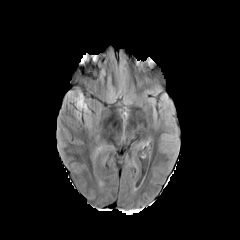
FLAIR MRI.
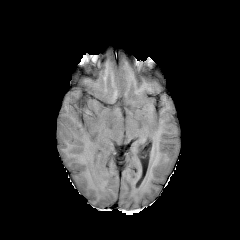
T1-weighted MR image of the same slice.
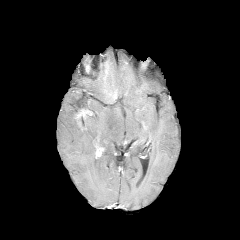
Post-contrast T1-weighted magnetic resonance.
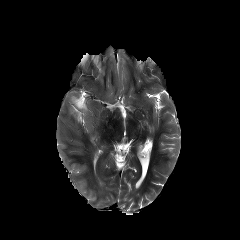
T2-weighted MRI.
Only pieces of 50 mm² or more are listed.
Segmented structures:
* peritumoral edema: <bbox>72, 93, 88, 113</bbox>
* enhancing tumor: <bbox>76, 110, 89, 119</bbox>